FLAIR MRI.
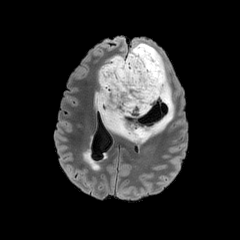
T1-weighted magnetic resonance.
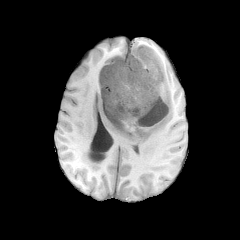
Post-contrast T1-weighted MR image.
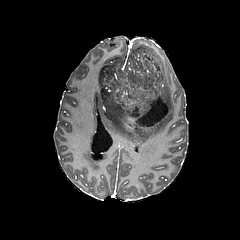
T2-weighted MRI.
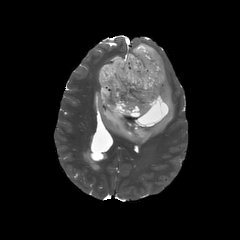
Axial slice
Segmented structures:
* peritumoral edema: box=[94, 42, 174, 142]
* necrotic tumor core: box=[100, 53, 170, 127]